Slice index 84 | Image size 240x240
FLAIR magnetic resonance.
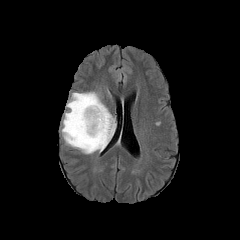
T1-weighted MR.
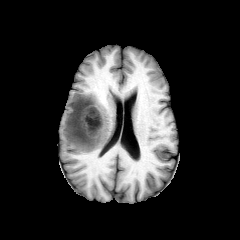
Post-contrast T1-weighted MR image.
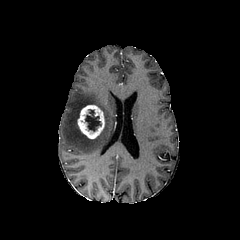
T2-weighted magnetic resonance.
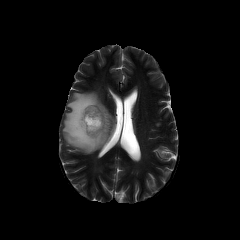
peritumoral edema: (left=62, top=92, right=114, bottom=154) | enhancing tumor: (left=77, top=105, right=104, bottom=139) | necrotic tumor core: (left=85, top=109, right=101, bottom=131)